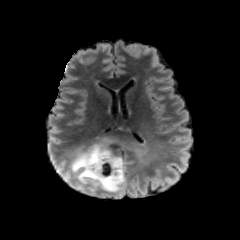
FLAIR MR.
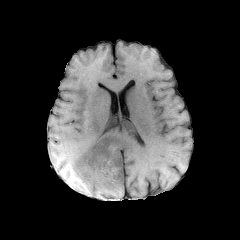
T1-weighted MRI.
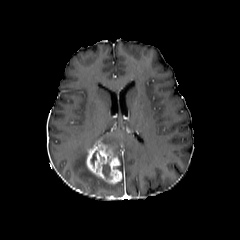
Post-contrast T1-weighted magnetic resonance.
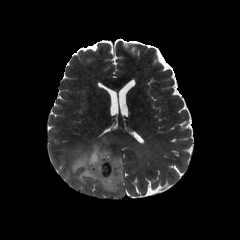
T2-weighted MR.
240x240
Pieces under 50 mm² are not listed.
The peritumoral edema is bounded by {"x1": 70, "y1": 141, "x2": 125, "y2": 190}. The enhancing tumor appears at {"x1": 86, "y1": 144, "x2": 122, "y2": 184}. The largest necrotic tumor core region is located at {"x1": 102, "y1": 163, "x2": 110, "y2": 179}.